Image width 240 mm. Axial plane. Head. 240x240 px.
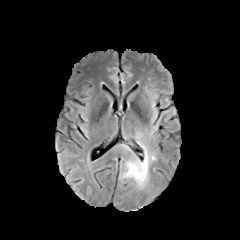
FLAIR magnetic resonance.
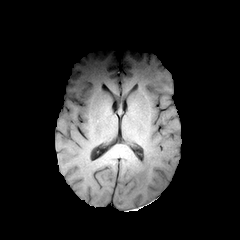
T1-weighted magnetic resonance.
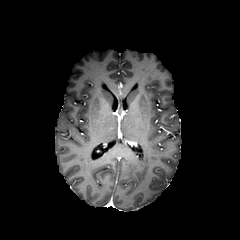
Post-contrast T1-weighted MR.
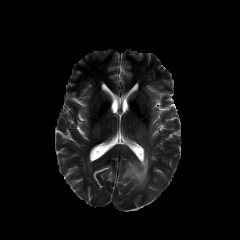
T2-weighted MR.
peritumoral edema: region(122, 146, 149, 188)